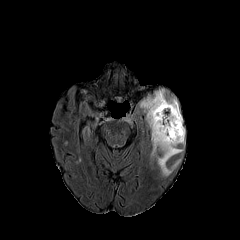
FLAIR MR image.
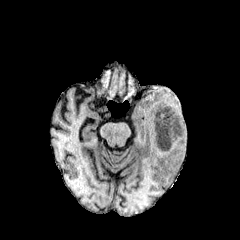
T1-weighted MR image.
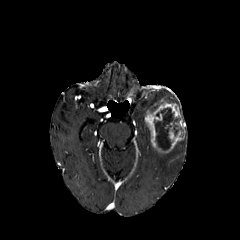
Post-contrast T1-weighted MRI of the same slice.
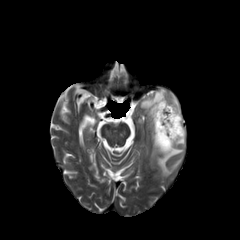
Same slice, T2-weighted MR image.
Axial view; Image size 240x240
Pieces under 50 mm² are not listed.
necrotic tumor core: (154,108,179,149)
enhancing tumor: (145,98,185,153)
peritumoral edema: (140,89,178,113), (151,139,185,176)